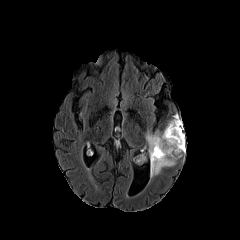
FLAIR magnetic resonance.
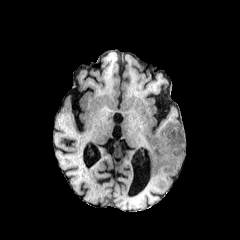
Same slice, T1-weighted magnetic resonance.
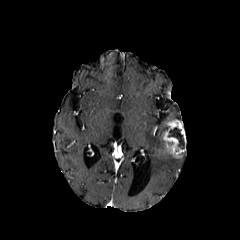
Post-contrast T1-weighted magnetic resonance.
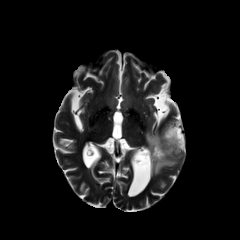
T2-weighted magnetic resonance.
Brain
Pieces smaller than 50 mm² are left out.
<segmentation>
  <necrotic_tumor_core>168 127 184 148</necrotic_tumor_core>
  <enhancing_tumor>156 119 185 158</enhancing_tumor>
  <peritumoral_edema>145 130 177 177</peritumoral_edema>
</segmentation>